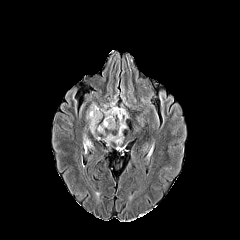
FLAIR MR image.
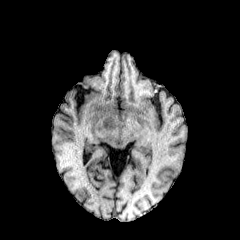
T1-weighted magnetic resonance.
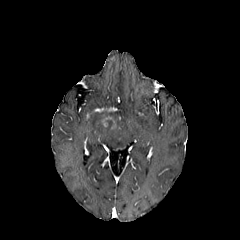
Post-contrast T1-weighted magnetic resonance of the same slice.
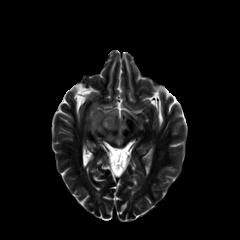
T2-weighted MR image.
Head; Axial slice
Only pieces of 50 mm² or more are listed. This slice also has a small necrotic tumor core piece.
The enhancing tumor lies within (102,116,116,129). The largest peritumoral edema region is bounded by (86,101,128,145).